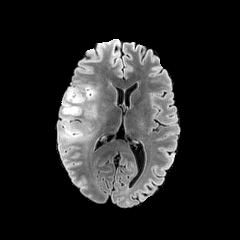
FLAIR MR.
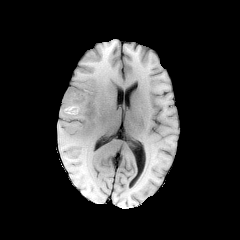
T1-weighted MRI.
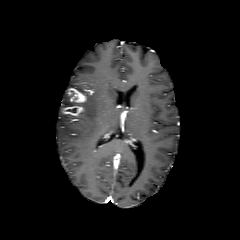
Post-contrast T1-weighted MR of the same slice.
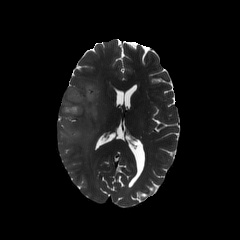
Same slice, T2-weighted MR image.
Head
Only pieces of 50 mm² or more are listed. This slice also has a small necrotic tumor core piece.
peritumoral edema at {"x1": 79, "y1": 88, "x2": 96, "y2": 117}, {"x1": 59, "y1": 89, "x2": 91, "y2": 145}
enhancing tumor at {"x1": 63, "y1": 88, "x2": 86, "y2": 115}